Slice 66 of 155. Image size 240x240. Axial view. Image width 240 mm, 1.00 mm slice spacing.
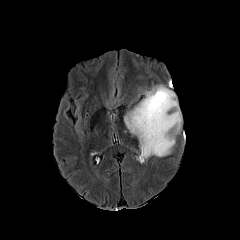
FLAIR MR image.
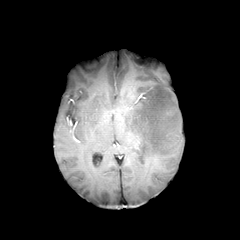
T1-weighted MR image.
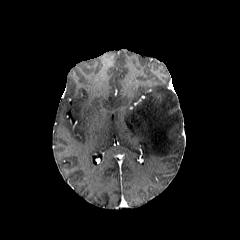
Post-contrast T1-weighted magnetic resonance.
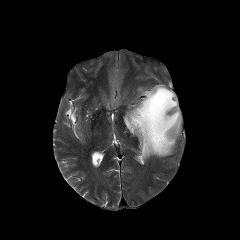
T2-weighted magnetic resonance.
Findings:
• peritumoral edema: x1=124 y1=84 x2=181 y2=159